Brain; 240x240; Slice 85 of 155; Image covers 240 mm x 240 mm
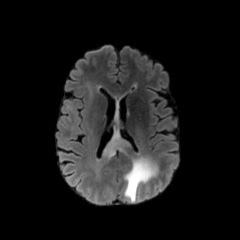
FLAIR MR image.
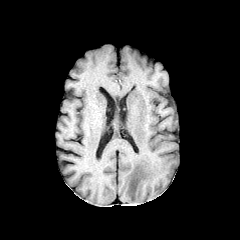
T1-weighted MRI.
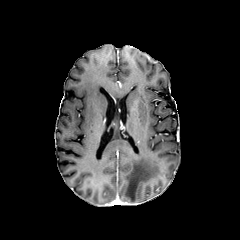
Same slice, post-contrast T1-weighted MR image.
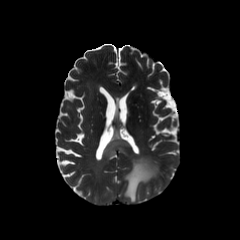
T2-weighted MRI.
<segmentation>
  <peritumoral_edema>(left=103, top=127, right=158, bottom=202)</peritumoral_edema>
</segmentation>